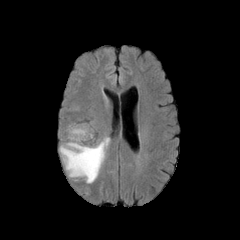
FLAIR MR.
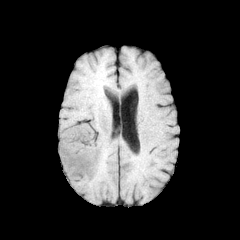
Same slice, T1-weighted magnetic resonance.
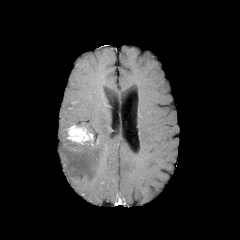
Post-contrast T1-weighted magnetic resonance.
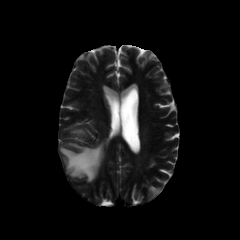
Same slice, T2-weighted MR image.
Axial slice
peritumoral edema at [60, 137, 110, 183]
enhancing tumor at [68, 125, 93, 143]